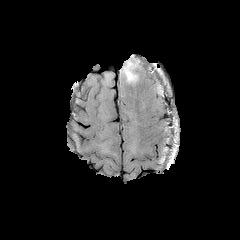
FLAIR MRI.
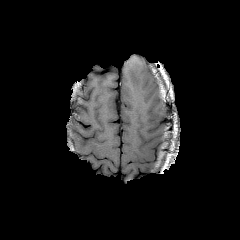
Same slice, T1-weighted MR.
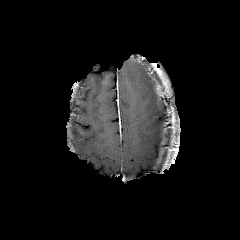
Post-contrast T1-weighted MR image.
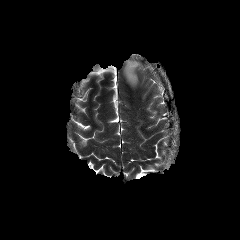
Same slice, T2-weighted magnetic resonance.
Head
- peritumoral edema: 123, 60, 140, 83